240x240 px; Slice index 126
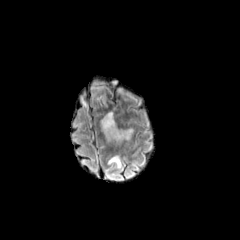
FLAIR MRI.
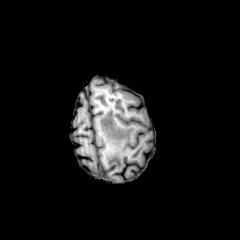
T1-weighted MR image of the same slice.
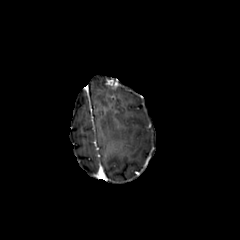
Post-contrast T1-weighted MR of the same slice.
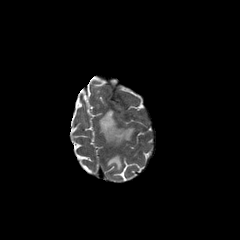
T2-weighted MR image of the same slice.
<segmentation>
  <peritumoral_edema><box>100,111,134,143</box>, <box>108,155,121,168</box></peritumoral_edema>
</segmentation>